FLAIR magnetic resonance.
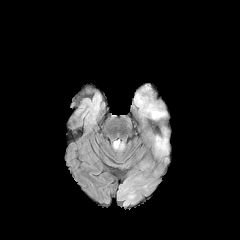
T1-weighted MRI.
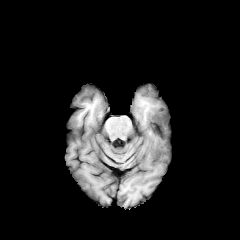
Post-contrast T1-weighted MRI.
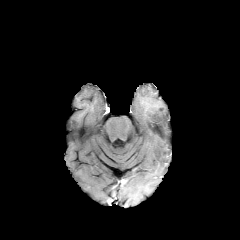
T2-weighted MR.
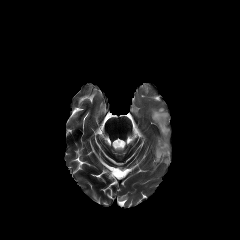
Axial slice
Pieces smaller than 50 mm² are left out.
The largest peritumoral edema region lies within region(152, 111, 163, 118).